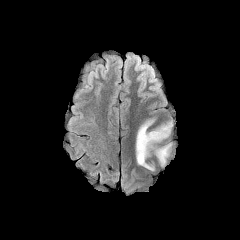
FLAIR MR.
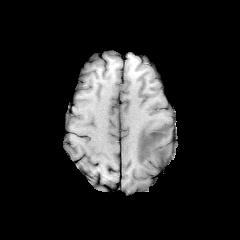
T1-weighted magnetic resonance.
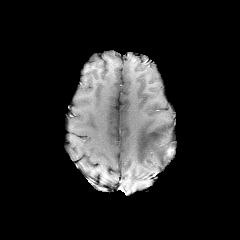
Post-contrast T1-weighted MR.
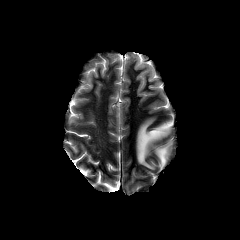
T2-weighted MR of the same slice.
Head.
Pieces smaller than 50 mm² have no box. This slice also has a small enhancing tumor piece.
The peritumoral edema lies within box=[136, 118, 172, 170].